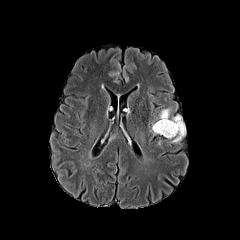
FLAIR magnetic resonance.
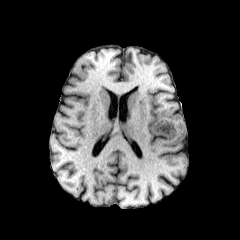
T1-weighted MR.
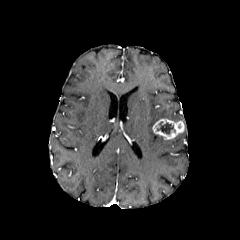
Post-contrast T1-weighted magnetic resonance.
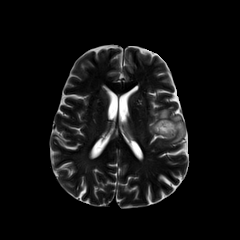
T2-weighted MRI of the same slice.
Image size 240x240 | Brain
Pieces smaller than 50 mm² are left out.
The 3 largest peritumoral edema regions appear at (171,115,182,121), (171,127,185,142), (159,108,169,119). The enhancing tumor lies within (152,118,184,139). The largest necrotic tumor core region is at (157,121,175,134).